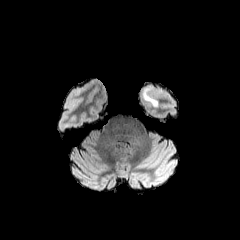
FLAIR MRI.
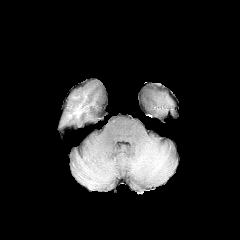
T1-weighted MRI.
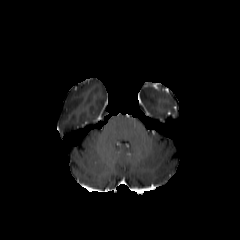
Post-contrast T1-weighted MR image.
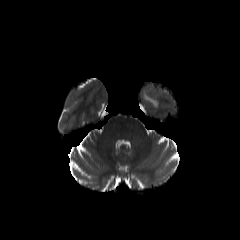
Same slice, T2-weighted MRI.
Brain
* peritumoral edema: x1=143, y1=87, x2=158, y2=106